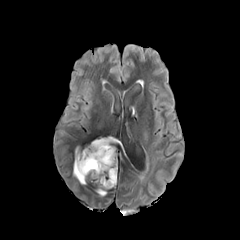
FLAIR MRI.
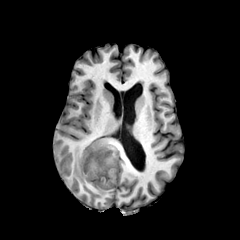
T1-weighted MR.
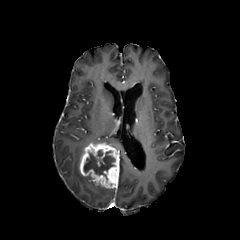
Post-contrast T1-weighted MRI.
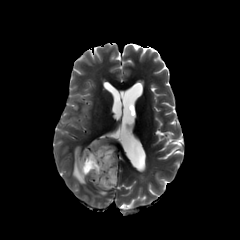
T2-weighted MR image.
Axial slice; 240x240 px
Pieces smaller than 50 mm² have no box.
necrotic tumor core: <box>84,151,115,178</box>
peritumoral edema: <box>73,147,85,184</box>, <box>93,137,118,144</box>, <box>97,185,106,195</box>
enhancing tumor: <box>79,142,119,188</box>